FLAIR MRI.
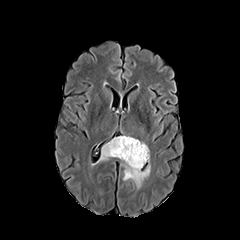
T1-weighted MRI.
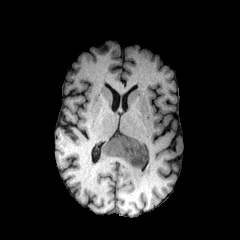
Post-contrast T1-weighted MRI.
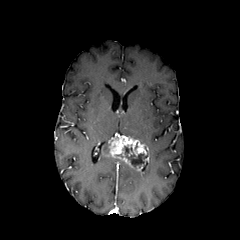
T2-weighted MR.
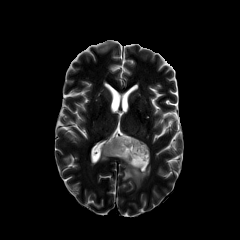
Head | Axial plane
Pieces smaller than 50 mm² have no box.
The largest necrotic tumor core region is located at x1=123 y1=146 x2=147 y2=169. The largest enhancing tumor region lies within x1=105 y1=135 x2=149 y2=168. The 2 largest peritumoral edema regions are located at x1=123 y1=162 x2=150 y2=188, x1=98 y1=143 x2=112 y2=161.